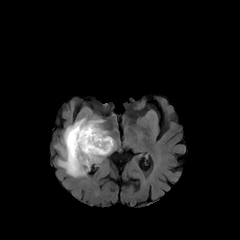
FLAIR magnetic resonance.
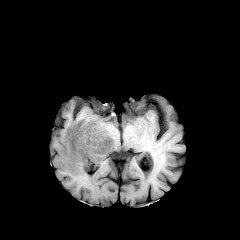
T1-weighted MR.
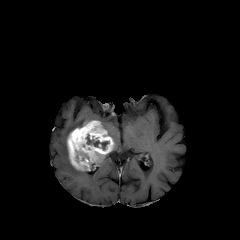
Post-contrast T1-weighted MRI of the same slice.
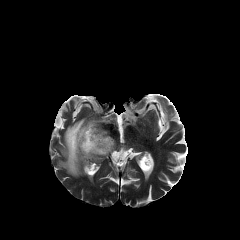
T2-weighted MRI.
Axial slice
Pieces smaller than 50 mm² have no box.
Annotated regions:
* necrotic tumor core: 86,135,110,150
* enhancing tumor: 67,120,114,171
* peritumoral edema: 56,117,103,177